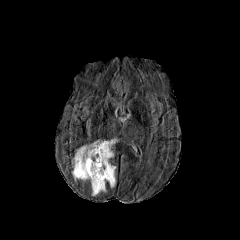
FLAIR magnetic resonance.
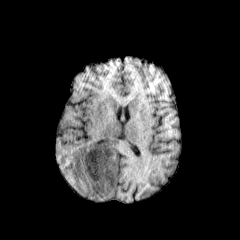
T1-weighted magnetic resonance.
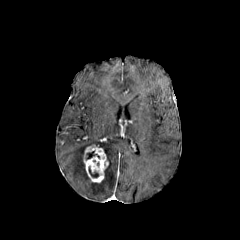
Post-contrast T1-weighted MR.
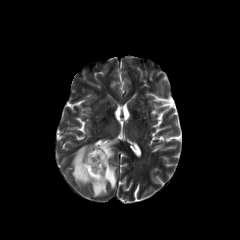
T2-weighted magnetic resonance of the same slice.
Axial plane; Brain
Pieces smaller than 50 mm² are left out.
necrotic tumor core — [x1=89, y1=167, x2=99, y2=177], [x1=86, y1=151, x2=99, y2=159]
peritumoral edema — [x1=91, y1=162, x2=115, y2=195], [x1=72, y1=139, x2=116, y2=181]
enhancing tumor — [x1=83, y1=145, x2=108, y2=182]